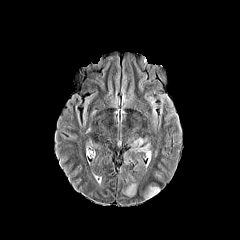
FLAIR MR.
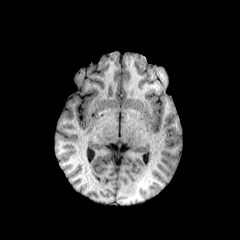
T1-weighted MR.
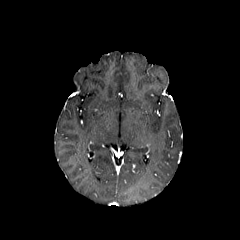
Post-contrast T1-weighted MRI.
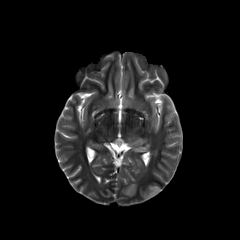
T2-weighted MR image of the same slice.
Axial plane
<segmentation>
  <peritumoral_edema>(124,183,136,196), (132,138,146,151), (142,187,158,198)</peritumoral_edema>
</segmentation>